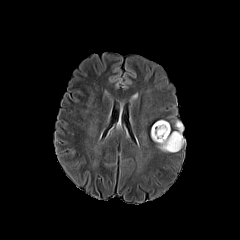
FLAIR MR.
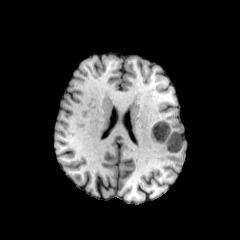
T1-weighted MRI of the same slice.
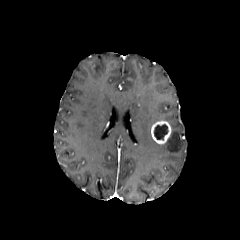
Same slice, post-contrast T1-weighted MRI.
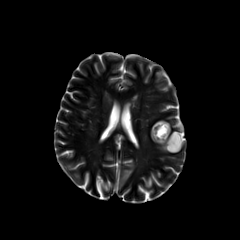
T2-weighted MR.
Brain | Axial plane
{"peritumoral_edema": ["(157, 120, 185, 152)"], "necrotic_tumor_core": ["(153, 124, 168, 139)"], "enhancing_tumor": ["(151, 120, 170, 144)"]}